FLAIR MRI.
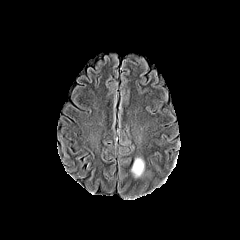
T1-weighted MR.
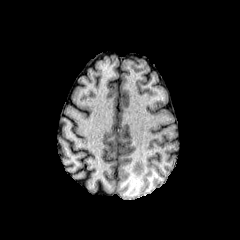
Post-contrast T1-weighted magnetic resonance.
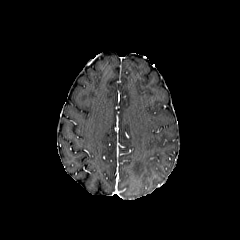
T2-weighted magnetic resonance.
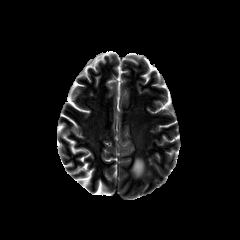
Brain.
{
  "peritumoral_edema": [
    "131, 158, 144, 177"
  ]
}